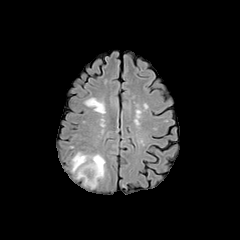
FLAIR magnetic resonance.
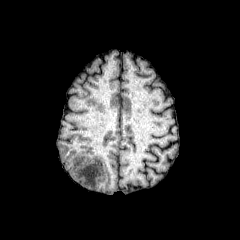
Same slice, T1-weighted MR image.
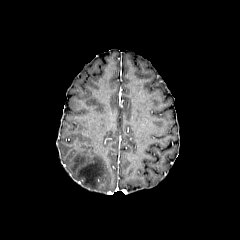
Post-contrast T1-weighted MRI of the same slice.
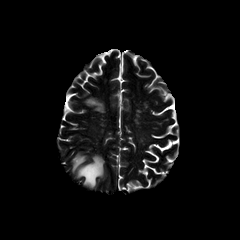
T2-weighted magnetic resonance.
240x240; Brain; Axial plane
peritumoral edema — 71 152 105 188